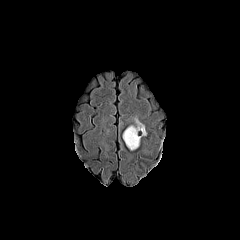
FLAIR MRI.
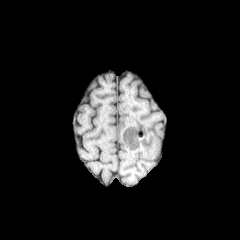
T1-weighted magnetic resonance.
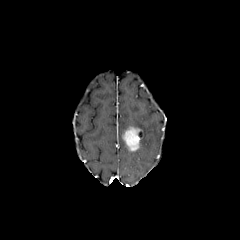
Post-contrast T1-weighted MRI.
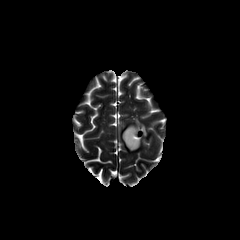
T2-weighted MR.
240x240; Axial plane
enhancing tumor: [122, 126, 142, 150] | peritumoral edema: [131, 125, 146, 135]